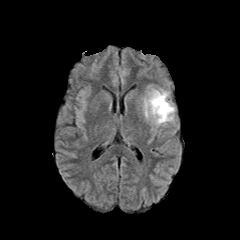
FLAIR MRI.
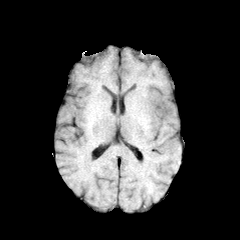
T1-weighted MR image.
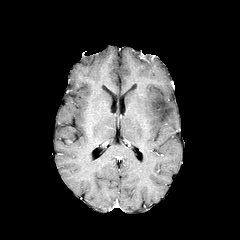
Same slice, post-contrast T1-weighted magnetic resonance.
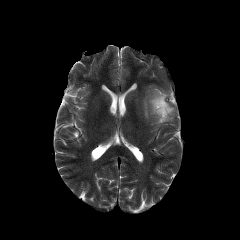
T2-weighted MRI.
Axial slice; Brain; Image size 240x240
Annotated regions:
* peritumoral edema: [144,89,174,124]